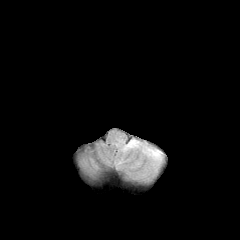
FLAIR MR image.
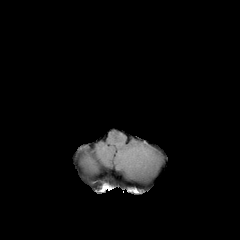
T1-weighted MR.
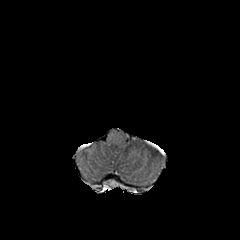
Post-contrast T1-weighted magnetic resonance of the same slice.
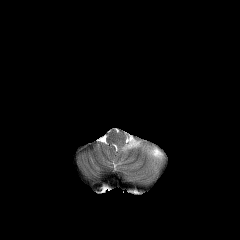
Same slice, T2-weighted MR image.
Axial slice
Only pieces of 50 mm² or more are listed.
The largest peritumoral edema region is at region(113, 138, 163, 179).